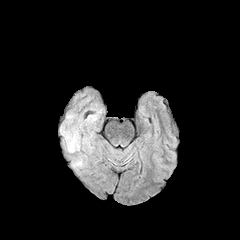
FLAIR MR image.
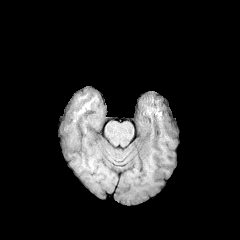
T1-weighted MR image.
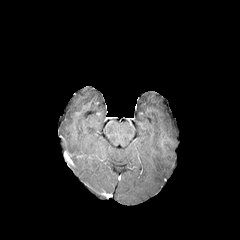
Same slice, post-contrast T1-weighted MR.
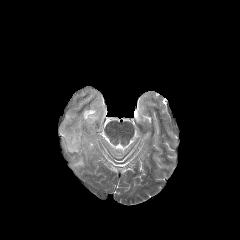
T2-weighted MR.
240x240. Axial plane.
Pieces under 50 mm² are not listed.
{"peritumoral_edema": ["bbox=[75, 159, 84, 166]", "bbox=[60, 126, 92, 152]", "bbox=[85, 115, 96, 124]"]}